Image covers 240 mm x 240 mm | Slice index 103 | Axial plane
FLAIR magnetic resonance.
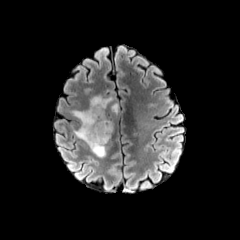
T1-weighted MR image.
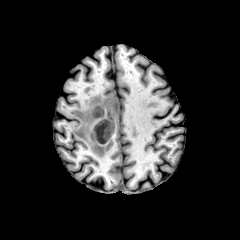
Post-contrast T1-weighted magnetic resonance.
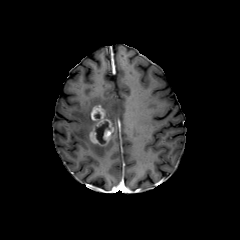
T2-weighted MRI.
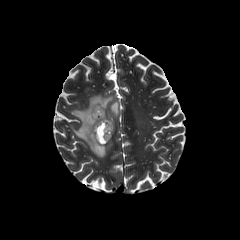
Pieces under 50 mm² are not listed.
necrotic tumor core: bounding box (95, 121, 109, 143)
enhancing tumor: bounding box (89, 105, 114, 145)
peritumoral edema: bounding box (72, 95, 118, 157)